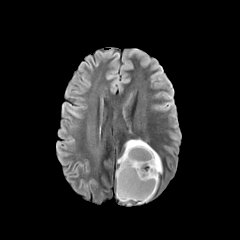
FLAIR magnetic resonance.
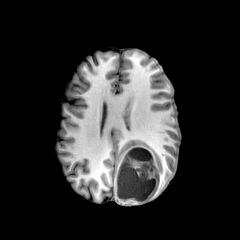
T1-weighted MRI.
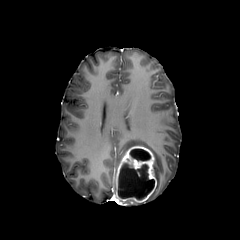
Post-contrast T1-weighted MR of the same slice.
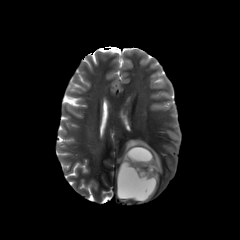
T2-weighted MR.
240x240 px.
Findings:
* peritumoral edema: left=117, top=139, right=162, bottom=199
* necrotic tumor core: left=130, top=149, right=150, bottom=161; left=117, top=163, right=154, bottom=199
* enhancing tumor: left=116, top=145, right=156, bottom=202